Image covers 240 mm x 240 mm, Slice 86/155, Brain, Image size 240x240
FLAIR MRI.
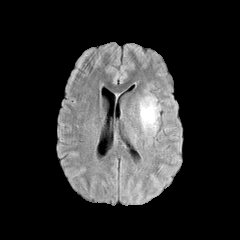
T1-weighted MRI.
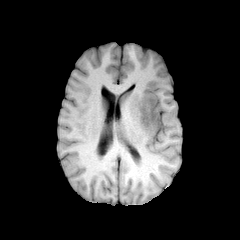
Post-contrast T1-weighted magnetic resonance.
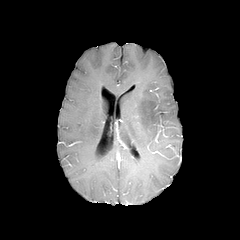
T2-weighted magnetic resonance.
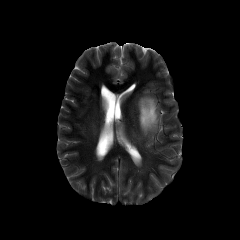
<segmentation>
  <peritumoral_edema>138 94 160 136</peritumoral_edema>
</segmentation>